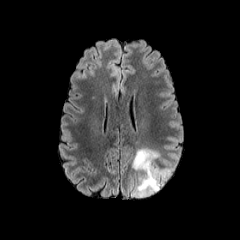
FLAIR MR image.
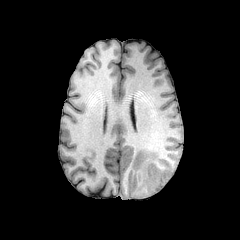
T1-weighted MR of the same slice.
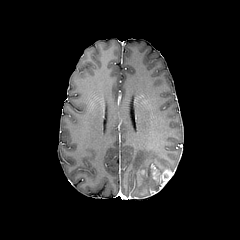
Same slice, post-contrast T1-weighted MR.
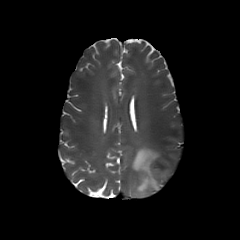
T2-weighted MR.
Axial slice
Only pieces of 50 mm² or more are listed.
peritumoral_edema:
  - x1=131 y1=148 x2=173 y2=197
enhancing_tumor:
  - x1=151 y1=165 x2=172 y2=186